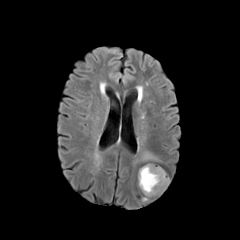
FLAIR MR.
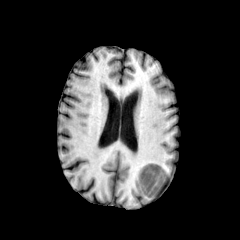
T1-weighted MR image.
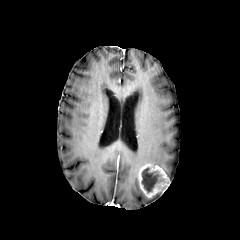
Post-contrast T1-weighted MRI of the same slice.
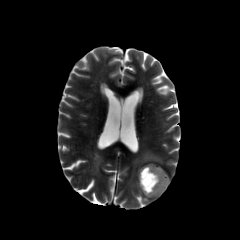
Same slice, T2-weighted MR image.
Brain, Axial plane
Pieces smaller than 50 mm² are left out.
Segmented structures:
• necrotic tumor core: 142, 168, 163, 192
• peritumoral edema: 143, 152, 159, 161
• enhancing tumor: 138, 163, 170, 197